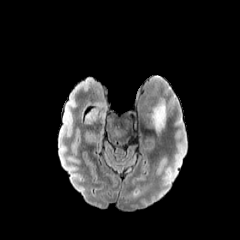
FLAIR magnetic resonance.
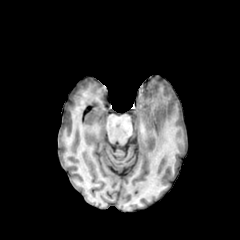
T1-weighted MR image.
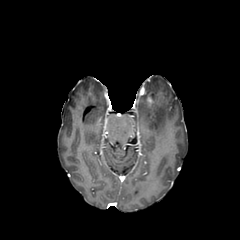
Post-contrast T1-weighted MR image.
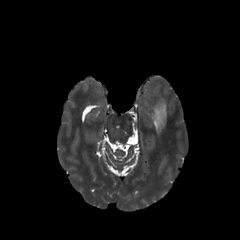
T2-weighted MRI.
Image size 240x240, Axial plane
peritumoral edema: 152, 99, 166, 132